FLAIR MR.
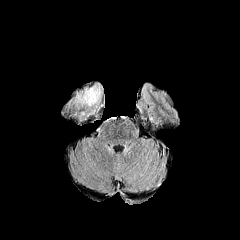
T1-weighted MR.
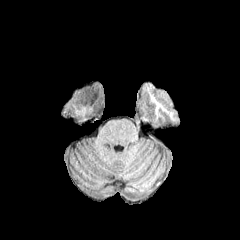
Post-contrast T1-weighted MRI.
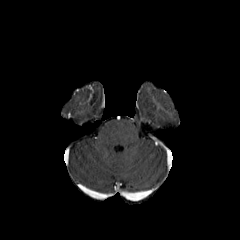
T2-weighted MRI.
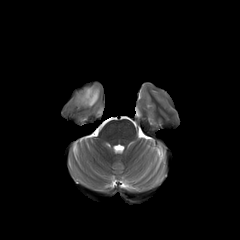
Axial slice
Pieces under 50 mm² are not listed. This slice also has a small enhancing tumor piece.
<segmentation>
  <necrotic_tumor_core>(left=86, top=94, right=96, bottom=103)</necrotic_tumor_core>
  <peritumoral_edema>(left=74, top=84, right=101, bottom=116)</peritumoral_edema>
</segmentation>